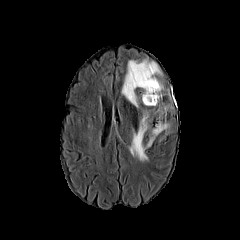
FLAIR MR.
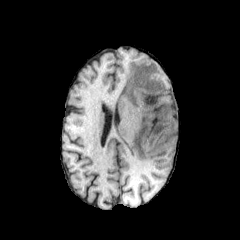
T1-weighted MR.
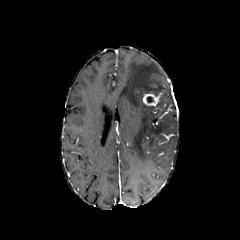
Post-contrast T1-weighted MR.
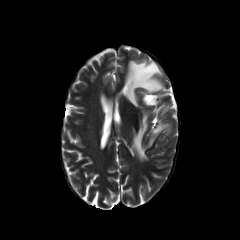
Same slice, T2-weighted MR image.
240x240
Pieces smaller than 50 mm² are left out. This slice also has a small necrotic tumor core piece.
The enhancing tumor lies within (left=143, top=92, right=160, bottom=105). The 2 largest peritumoral edema regions are located at (left=121, top=59, right=163, bottom=107), (left=129, top=112, right=169, bottom=161).